FLAIR MR image.
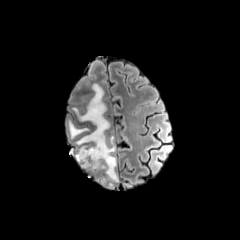
T1-weighted MRI.
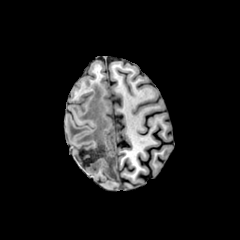
Post-contrast T1-weighted MR image.
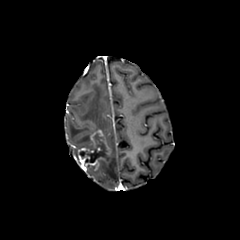
T2-weighted MR.
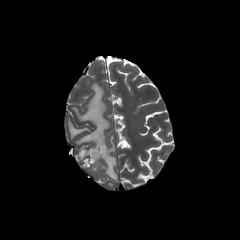
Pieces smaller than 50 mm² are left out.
The 3 largest peritumoral edema regions are bounded by x1=68, y1=122, x2=93, y2=156; x1=87, y1=136, x2=118, y2=181; x1=73, y1=83, x2=109, y2=141. The largest enhancing tumor region is bounded by x1=75, y1=129, x2=111, y2=170. The largest necrotic tumor core region is at x1=79, y1=134, x2=109, y2=162.